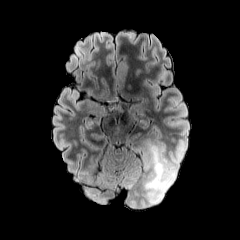
FLAIR MR image.
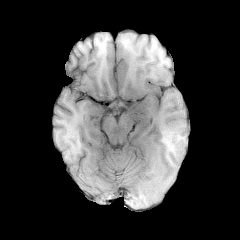
T1-weighted magnetic resonance of the same slice.
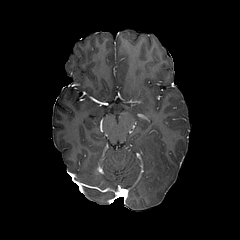
Post-contrast T1-weighted MR.
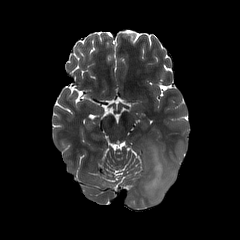
Same slice, T2-weighted MR image.
peritumoral edema — region(143, 138, 177, 204)